FLAIR MRI.
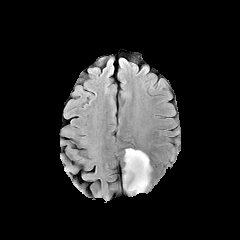
T1-weighted MR image.
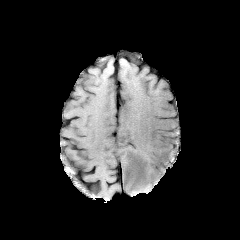
Post-contrast T1-weighted magnetic resonance.
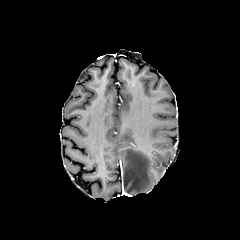
T2-weighted MR image.
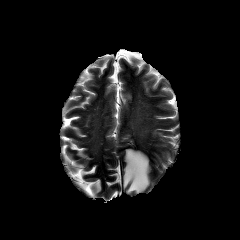
240x240.
The peritumoral edema appears at [x1=123, y1=148, x2=150, y2=193].